Brain, Axial plane, Image covers 240 mm x 240 mm
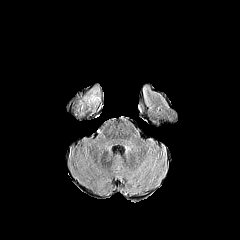
FLAIR MR image.
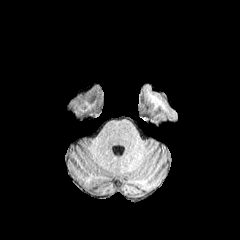
T1-weighted MRI of the same slice.
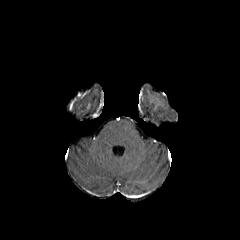
Post-contrast T1-weighted MRI of the same slice.
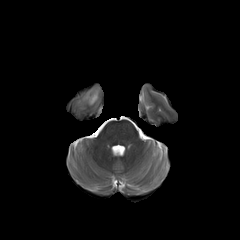
Same slice, T2-weighted MR image.
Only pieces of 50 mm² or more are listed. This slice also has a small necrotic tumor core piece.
The peritumoral edema is located at 84,87,99,104.